Slice 51/155. Brain.
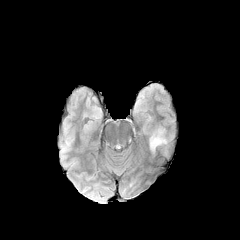
FLAIR magnetic resonance.
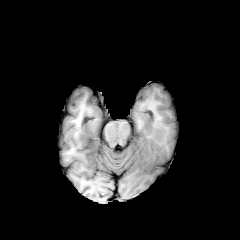
T1-weighted MR.
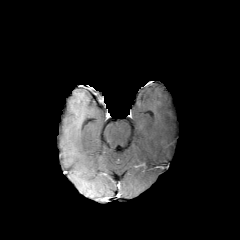
Post-contrast T1-weighted MRI.
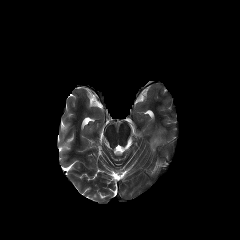
T2-weighted MR image of the same slice.
{"peritumoral_edema": ["left=150, top=136, right=163, bottom=149"]}